Image size 240x240 | Brain | Slice index 118
FLAIR MR image.
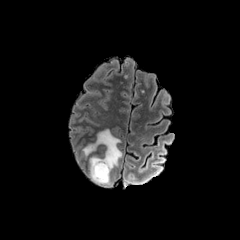
T1-weighted magnetic resonance.
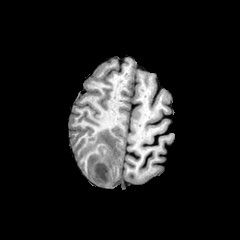
Post-contrast T1-weighted magnetic resonance.
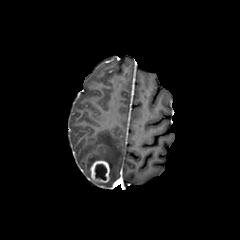
T2-weighted MR image.
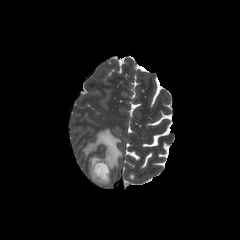
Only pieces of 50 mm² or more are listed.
<segmentation>
  <peritumoral_edema>left=82, top=129, right=122, bottom=187</peritumoral_edema>
  <necrotic_tumor_core>left=95, top=164, right=106, bottom=180</necrotic_tumor_core>
  <enhancing_tumor>left=90, top=160, right=109, bottom=183</enhancing_tumor>
</segmentation>